Axial slice, Slice index 86
FLAIR magnetic resonance.
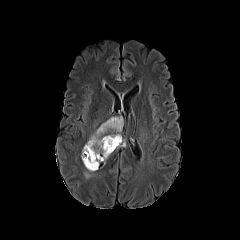
T1-weighted MRI.
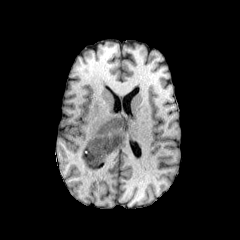
Post-contrast T1-weighted magnetic resonance.
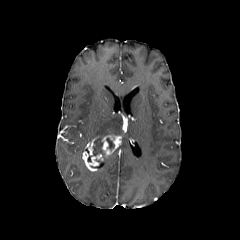
T2-weighted magnetic resonance.
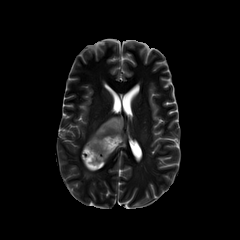
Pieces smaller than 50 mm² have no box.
peritumoral edema = region(88, 116, 122, 141)
necrotic tumor core = region(93, 136, 104, 158); region(106, 138, 114, 149)
enhancing tumor = region(101, 135, 121, 157); region(82, 136, 103, 171)